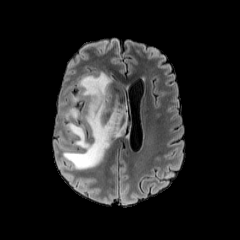
FLAIR MRI.
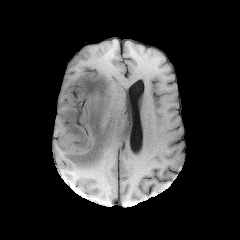
Same slice, T1-weighted MR image.
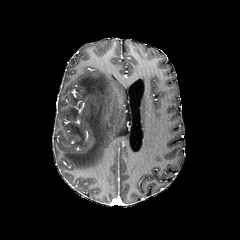
Same slice, post-contrast T1-weighted MRI.
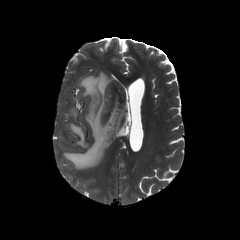
T2-weighted MR image of the same slice.
240x240
The peritumoral edema appears at [63, 72, 126, 169].